240x240 px; Head
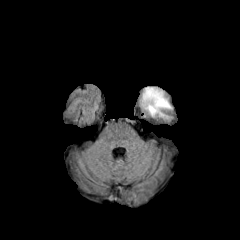
FLAIR MR image.
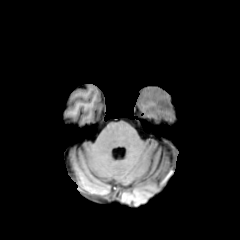
T1-weighted MR.
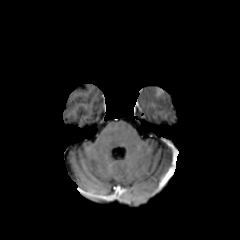
Same slice, post-contrast T1-weighted MR image.
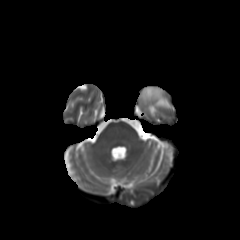
Same slice, T2-weighted magnetic resonance.
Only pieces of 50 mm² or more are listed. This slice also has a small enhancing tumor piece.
peritumoral edema: box=[138, 86, 174, 123]